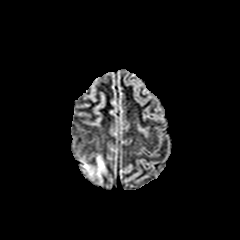
FLAIR magnetic resonance.
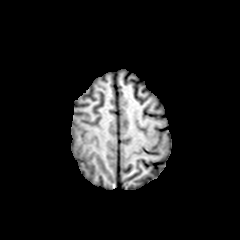
T1-weighted MRI.
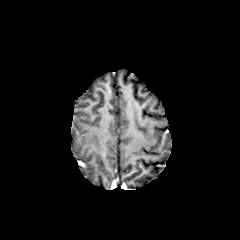
Post-contrast T1-weighted MR.
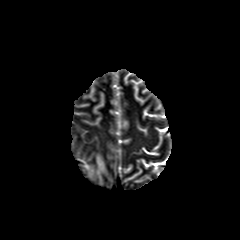
T2-weighted magnetic resonance.
240x240; Axial plane
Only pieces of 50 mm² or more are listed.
peritumoral_edema:
  - [x1=97, y1=156, x2=104, y2=176]